Axial slice
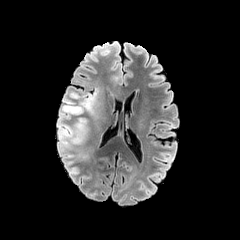
FLAIR MR image.
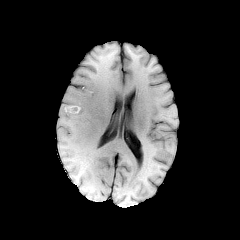
T1-weighted MR.
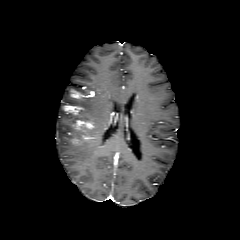
Post-contrast T1-weighted magnetic resonance of the same slice.
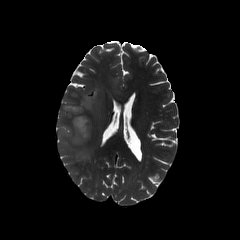
T2-weighted MR image.
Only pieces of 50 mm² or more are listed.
enhancing tumor at <bbox>71, 90, 90, 98</bbox>, <bbox>63, 105, 83, 114</bbox>, <bbox>75, 120, 93, 140</bbox>
peritumoral edema at <bbox>56, 95, 95, 152</bbox>